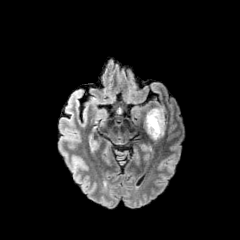
FLAIR MRI.
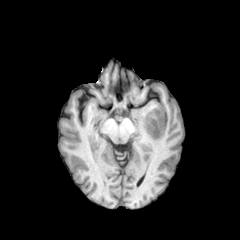
Same slice, T1-weighted MRI.
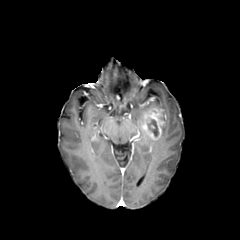
Post-contrast T1-weighted MR of the same slice.
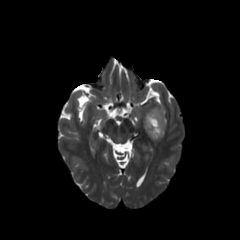
Same slice, T2-weighted MRI.
Head
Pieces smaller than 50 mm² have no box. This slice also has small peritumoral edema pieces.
enhancing tumor: 141,108,165,140
necrotic tumor core: 148,120,158,135